FLAIR MRI.
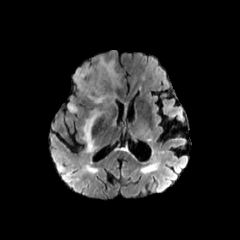
T1-weighted MR image.
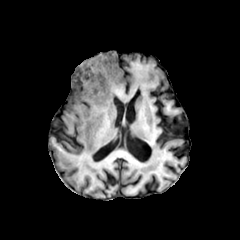
Post-contrast T1-weighted MRI.
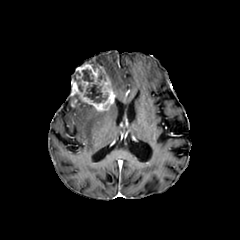
T2-weighted MR image.
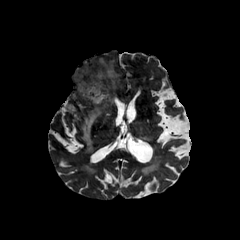
240x240 px. Head.
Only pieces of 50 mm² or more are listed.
<segmentation>
  <enhancing_tumor>[70, 63, 115, 111]</enhancing_tumor>
  <necrotic_tumor_core>[85, 84, 107, 102], [82, 69, 93, 82]</necrotic_tumor_core>
  <peritumoral_edema>[82, 108, 101, 152], [68, 103, 77, 112], [99, 57, 117, 87]</peritumoral_edema>
</segmentation>